FLAIR magnetic resonance.
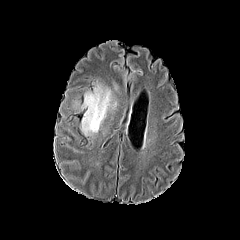
T1-weighted MR.
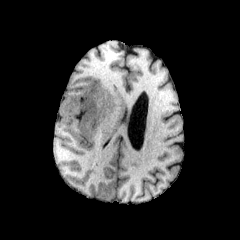
Post-contrast T1-weighted magnetic resonance.
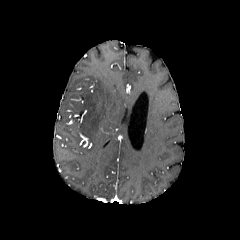
T2-weighted MR image.
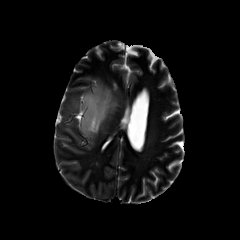
240x240 | Head
{"peritumoral_edema": ["l=80, t=83, r=116, b=135"]}